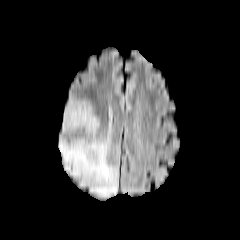
FLAIR MR image.
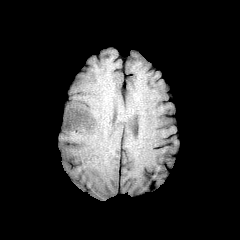
Same slice, T1-weighted magnetic resonance.
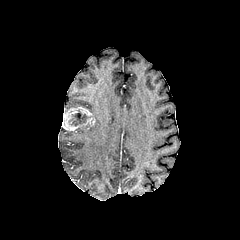
Post-contrast T1-weighted magnetic resonance.
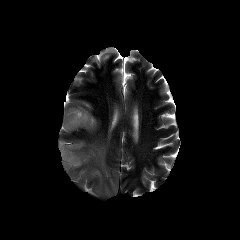
T2-weighted MRI of the same slice.
Axial view
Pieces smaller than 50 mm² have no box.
The necrotic tumor core is at bbox=[69, 110, 89, 125]. The 3 largest peritumoral edema regions appear at bbox=[64, 100, 91, 112]; bbox=[59, 124, 117, 197]; bbox=[71, 115, 98, 135]. The enhancing tumor appears at bbox=[62, 106, 95, 131].